Image width 240 mm.
FLAIR MR image.
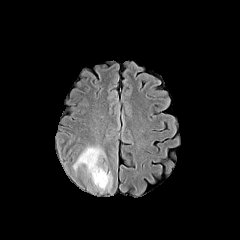
T1-weighted magnetic resonance.
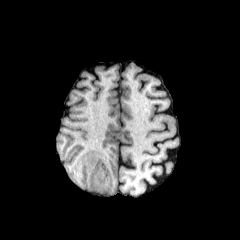
Post-contrast T1-weighted MR image.
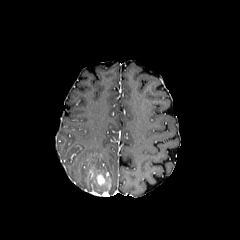
T2-weighted MR image.
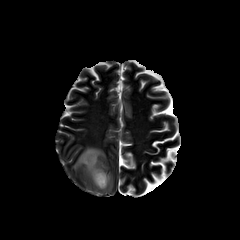
enhancing tumor: <bbox>97, 173, 105, 185</bbox>
peritumoral edema: <bbox>73, 145, 112, 192</bbox>